FLAIR magnetic resonance.
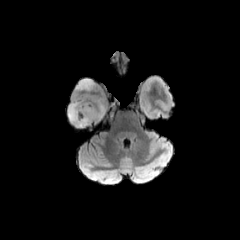
T1-weighted MR.
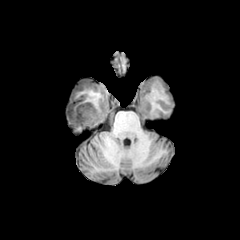
Post-contrast T1-weighted MR.
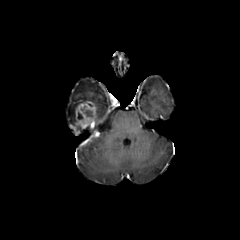
T2-weighted MR.
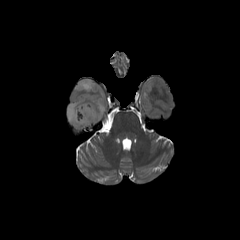
Axial slice. 240x240.
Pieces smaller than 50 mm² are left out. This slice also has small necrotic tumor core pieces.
<segmentation>
  <peritumoral_edema>[76,79,93,91], [95,101,104,120], [68,101,85,125]</peritumoral_edema>
  <enhancing_tumor>[72,101,99,131]</enhancing_tumor>
</segmentation>